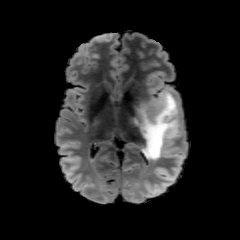
FLAIR MR image.
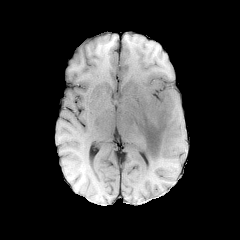
T1-weighted MRI.
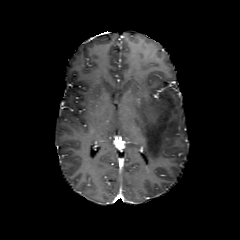
Post-contrast T1-weighted magnetic resonance.
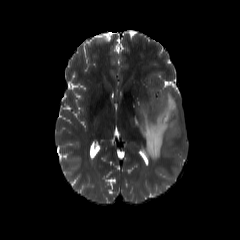
Same slice, T2-weighted MR.
Brain
peritumoral edema at rect(136, 90, 181, 160)